FLAIR MR.
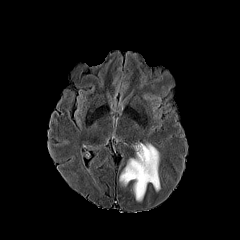
T1-weighted MR.
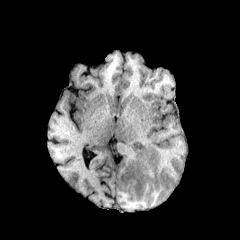
Post-contrast T1-weighted magnetic resonance.
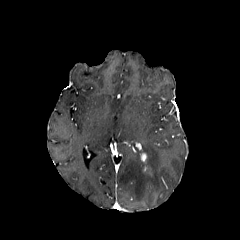
T2-weighted magnetic resonance.
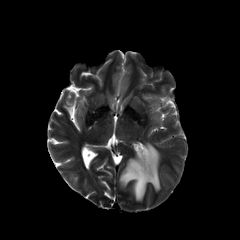
Axial plane. Head.
Annotated regions:
* enhancing tumor: (left=140, top=152, right=150, bottom=173)
* peritumoral edema: (left=119, top=143, right=160, bottom=201)